Image width 240 mm; Axial slice
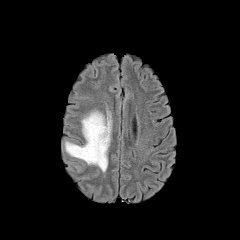
FLAIR MR image.
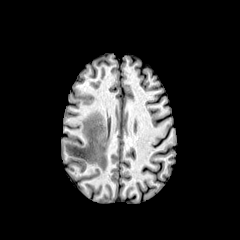
Same slice, T1-weighted MR.
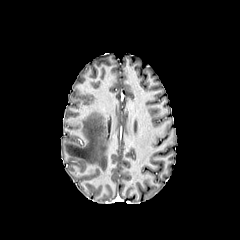
Post-contrast T1-weighted MRI of the same slice.
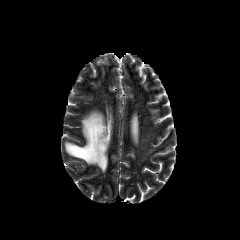
Same slice, T2-weighted MRI.
peritumoral edema at <box>65,111,111,171</box>